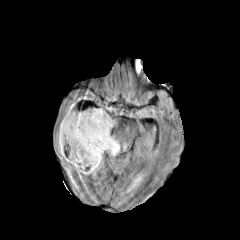
FLAIR MR.
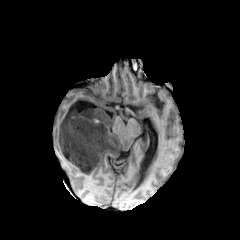
T1-weighted MR.
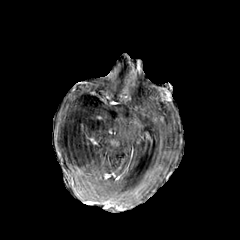
Post-contrast T1-weighted MR of the same slice.
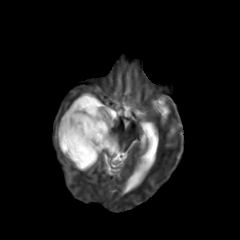
Same slice, T2-weighted MRI.
Axial plane
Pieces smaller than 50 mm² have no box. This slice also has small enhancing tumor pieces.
The necrotic tumor core appears at rect(58, 114, 100, 168). The 3 largest peritumoral edema regions appear at rect(67, 134, 79, 152); rect(64, 91, 119, 174); rect(57, 134, 64, 156).